Head
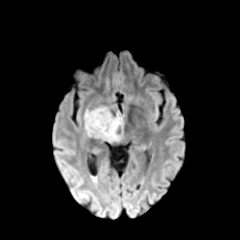
FLAIR MR.
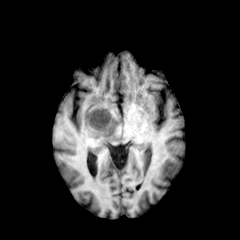
T1-weighted MRI.
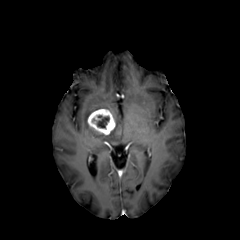
Post-contrast T1-weighted MR image.
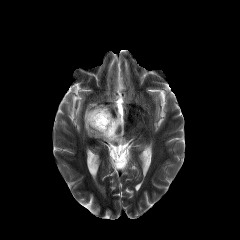
T2-weighted MR image of the same slice.
{
  "peritumoral_edema": [
    "84:107:123:142"
  ],
  "enhancing_tumor": [
    "87:109:115:134"
  ],
  "necrotic_tumor_core": [
    "97:115:109:128"
  ]
}